Axial slice | Head | Slice 60 of 155
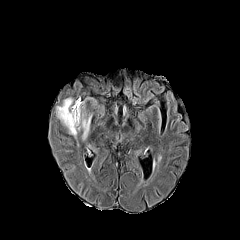
FLAIR MR image.
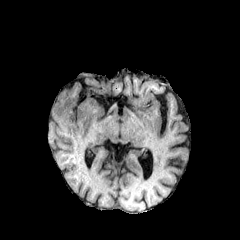
T1-weighted MR image of the same slice.
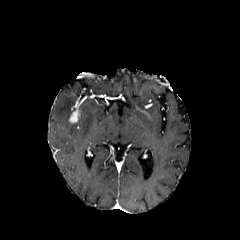
Post-contrast T1-weighted MR of the same slice.
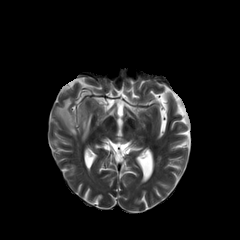
Same slice, T2-weighted MR image.
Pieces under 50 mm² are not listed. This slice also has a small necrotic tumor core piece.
enhancing_tumor:
  - bbox(69, 101, 81, 123)
peritumoral_edema:
  - bbox(56, 98, 92, 140)